FLAIR MRI.
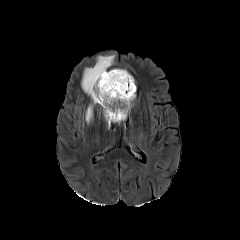
T1-weighted magnetic resonance.
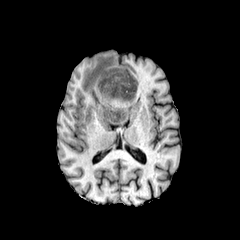
Post-contrast T1-weighted MR image.
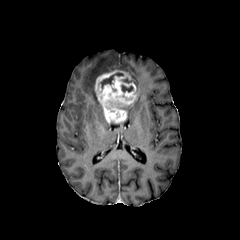
T2-weighted MRI.
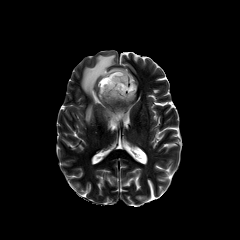
240x240
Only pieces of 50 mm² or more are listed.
The 2 largest necrotic tumor core regions are bounded by (left=101, top=72, right=123, bottom=87), (left=121, top=85, right=132, bottom=92). The largest peritumoral edema region appears at (left=81, top=54, right=114, bottom=123). The enhancing tumor lies within (left=95, top=69, right=136, bottom=124).